FLAIR MRI.
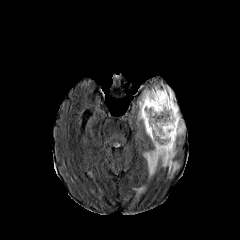
T1-weighted MR.
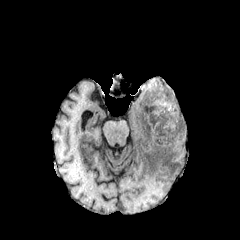
Post-contrast T1-weighted magnetic resonance.
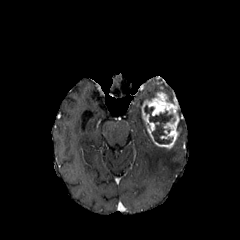
T2-weighted magnetic resonance.
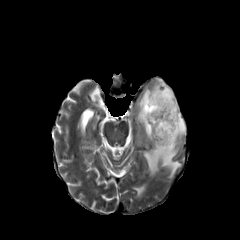
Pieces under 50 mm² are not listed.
enhancing tumor: l=141, t=92, r=180, b=149 | peritumoral edema: l=143, t=141, r=180, b=178; l=178, t=119, r=185, b=137; l=137, t=85, r=173, b=135; l=132, t=186, r=145, b=196 | necrotic tumor core: l=144, t=105, r=173, b=144